Axial slice | Head
FLAIR MR.
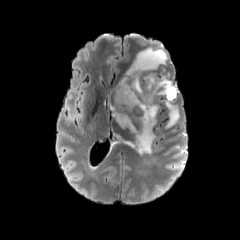
T1-weighted MR image.
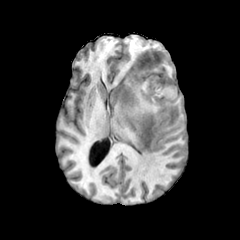
Post-contrast T1-weighted magnetic resonance.
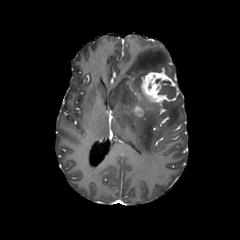
T2-weighted MR image.
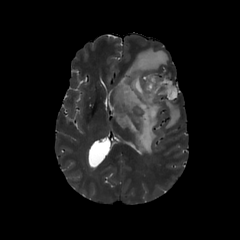
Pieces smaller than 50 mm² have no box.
2 peritumoral edema regions are bounded by box=[111, 45, 167, 154]; box=[163, 101, 179, 128]. The 2 largest enhancing tumor regions are bounded by box=[141, 72, 179, 105]; box=[135, 106, 143, 116]. The largest necrotic tumor core region is at box=[158, 80, 176, 98].